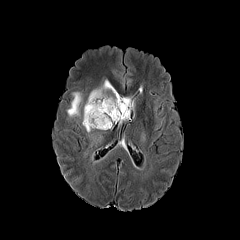
FLAIR MRI.
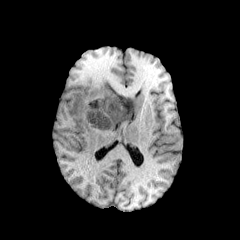
T1-weighted MR.
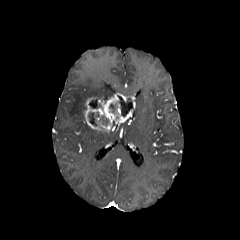
Same slice, post-contrast T1-weighted magnetic resonance.
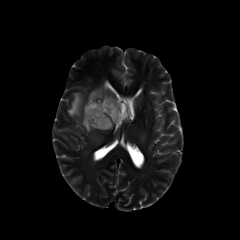
T2-weighted MRI.
Brain. Axial view. 240x240 px.
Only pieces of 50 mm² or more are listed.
Segmented structures:
* enhancing tumor: (83, 92, 135, 131)
* necrotic tumor core: (118, 96, 132, 116), (89, 99, 97, 108), (89, 113, 96, 125)
* peritumoral edema: (82, 114, 91, 132), (67, 92, 81, 117), (88, 80, 115, 99)